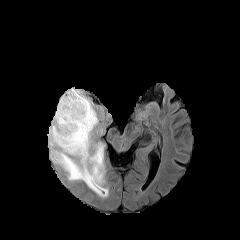
FLAIR magnetic resonance.
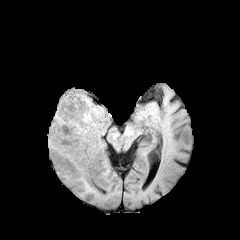
Same slice, T1-weighted magnetic resonance.
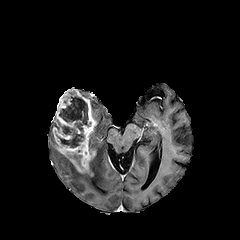
Post-contrast T1-weighted MR of the same slice.
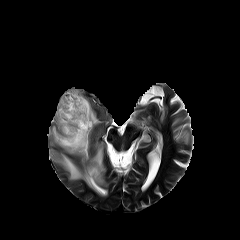
Same slice, T2-weighted MR.
Head
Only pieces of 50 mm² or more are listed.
Findings:
* peritumoral edema: bbox(90, 100, 98, 125); bbox(48, 121, 107, 196)
* necrotic tumor core: bbox(56, 96, 88, 147)
* enhancing tumor: bbox(52, 88, 96, 175)